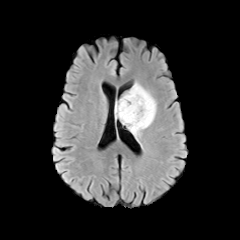
FLAIR MR image.
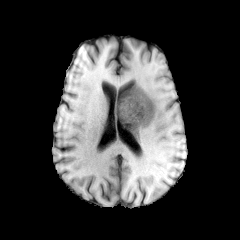
T1-weighted MRI.
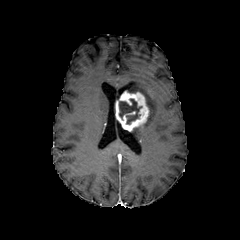
Post-contrast T1-weighted MRI of the same slice.
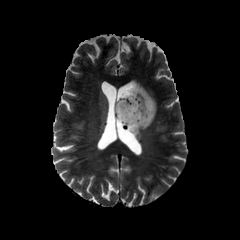
T2-weighted magnetic resonance.
Axial view. Brain.
Findings:
• necrotic tumor core: left=119, top=99, right=141, bottom=123
• peritumoral edema: left=128, top=82, right=156, bottom=140
• enhancing tumor: left=115, top=91, right=149, bottom=131